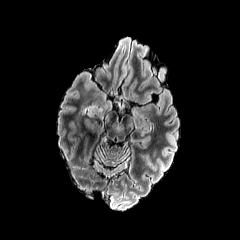
FLAIR MRI.
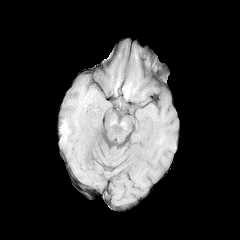
T1-weighted magnetic resonance of the same slice.
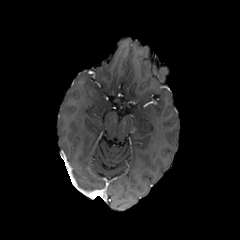
Post-contrast T1-weighted MR image.
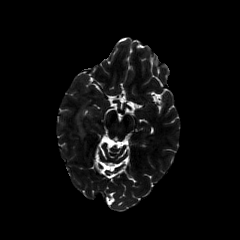
Same slice, T2-weighted MR.
Axial plane | Brain
The peritumoral edema lies within l=77, t=118, r=84, b=137.